FLAIR magnetic resonance.
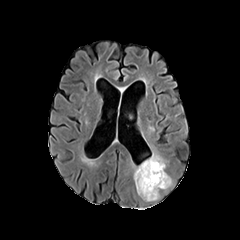
T1-weighted MR image.
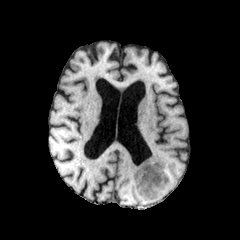
Post-contrast T1-weighted MR image.
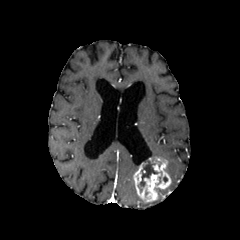
T2-weighted magnetic resonance.
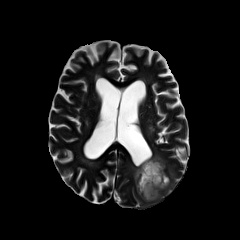
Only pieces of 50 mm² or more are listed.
necrotic tumor core at [140,161,157,191]
enhancing tumor at [133,156,170,202]
peritumoral edema at [153,146,163,158]